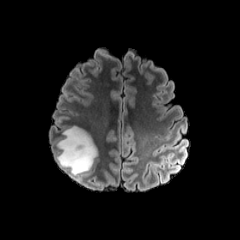
FLAIR magnetic resonance.
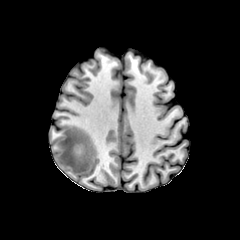
Same slice, T1-weighted MR image.
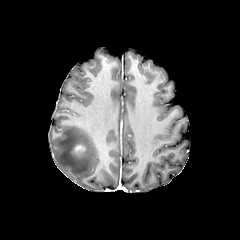
Post-contrast T1-weighted MRI.
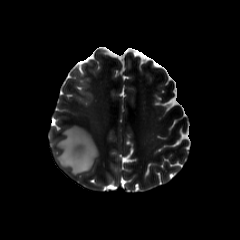
Same slice, T2-weighted magnetic resonance.
peritumoral edema — [56,126,97,177]
enhancing tumor — [72,145,85,154]